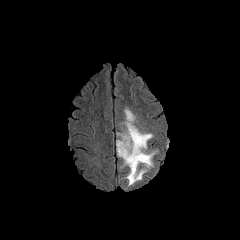
FLAIR MR image.
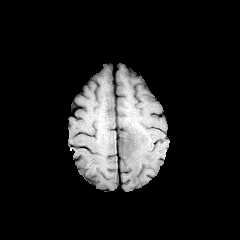
T1-weighted magnetic resonance.
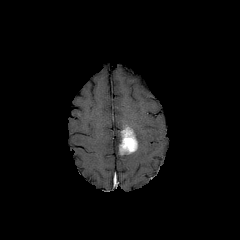
Post-contrast T1-weighted magnetic resonance.
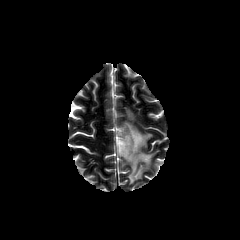
Same slice, T2-weighted MRI.
Head. Axial slice.
enhancing_tumor:
  - box(118, 125, 137, 155)
peritumoral_edema:
  - box(116, 108, 157, 186)